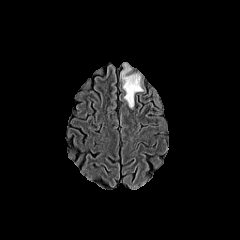
FLAIR MRI.
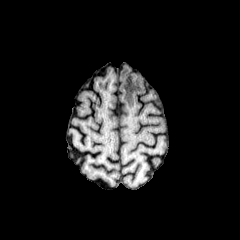
T1-weighted MR of the same slice.
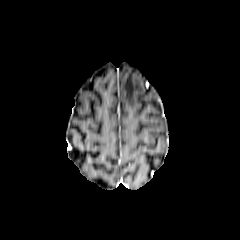
Post-contrast T1-weighted MR.
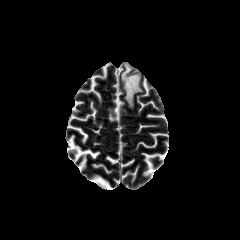
Same slice, T2-weighted MR.
Brain.
peritumoral edema: 121 63 142 107